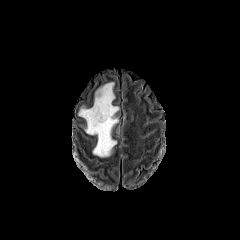
FLAIR MRI.
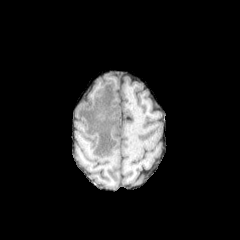
T1-weighted MRI.
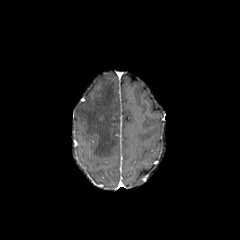
Post-contrast T1-weighted MR.
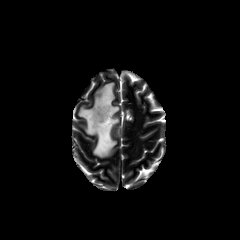
T2-weighted MR image of the same slice.
peritumoral_edema:
  - rect(78, 82, 119, 157)